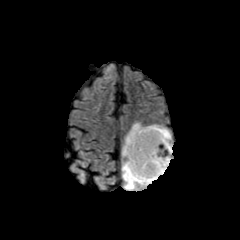
FLAIR MR.
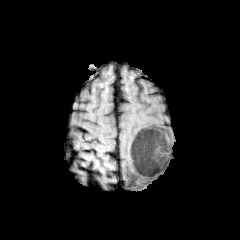
T1-weighted MR image.
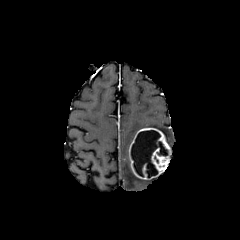
Post-contrast T1-weighted magnetic resonance.
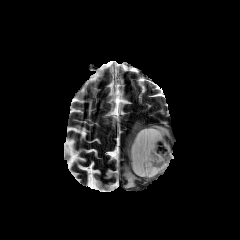
T2-weighted MRI of the same slice.
Head | Axial view
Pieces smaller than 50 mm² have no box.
necrotic_tumor_core:
  - 131 130 167 177
peritumoral_edema:
  - 147 124 171 149
  - 122 122 157 190
enhancing_tumor:
  - 128 127 171 179